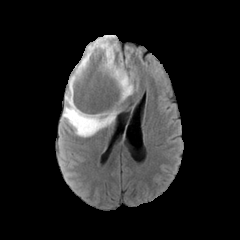
FLAIR magnetic resonance.
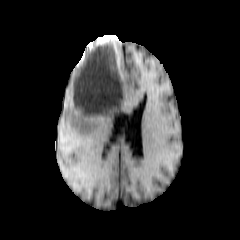
T1-weighted MRI.
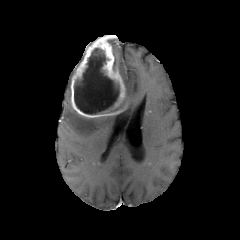
Same slice, post-contrast T1-weighted magnetic resonance.
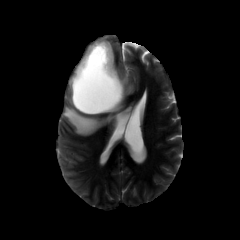
T2-weighted MRI.
Brain
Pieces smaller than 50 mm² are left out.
{"necrotic_tumor_core": ["(74, 48, 119, 113)"], "peritumoral_edema": ["(63, 76, 115, 136)", "(108, 39, 118, 55)", "(114, 62, 133, 98)"], "enhancing_tumor": ["(70, 36, 128, 118)"]}